FLAIR MR image.
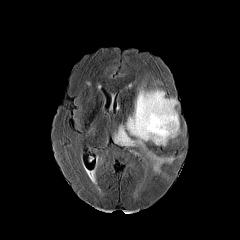
T1-weighted MRI.
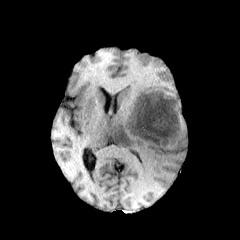
Post-contrast T1-weighted MRI.
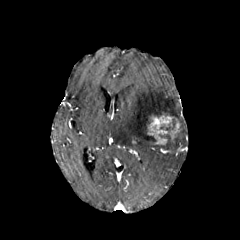
T2-weighted MR image.
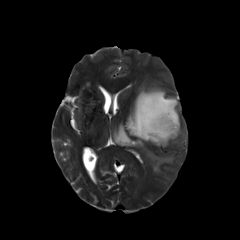
240x240, Brain
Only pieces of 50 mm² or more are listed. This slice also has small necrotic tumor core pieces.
The enhancing tumor lies within x1=147, y1=114, x2=180, y2=144. The largest peritumoral edema region lies within x1=114, y1=87, x2=178, y2=172.